FLAIR MR image.
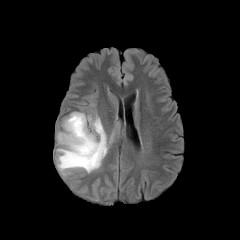
T1-weighted MR image.
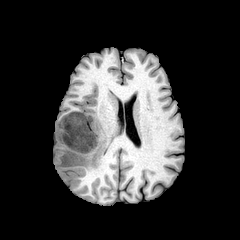
Post-contrast T1-weighted MRI.
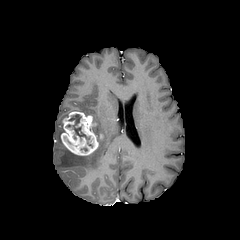
T2-weighted magnetic resonance.
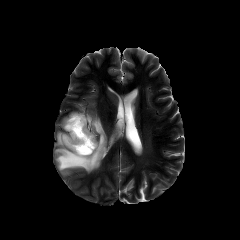
Axial view
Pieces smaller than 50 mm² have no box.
The largest peritumoral edema region is at l=56, t=115, r=108, b=172. The largest enhancing tumor region is bounded by l=61, t=111, r=98, b=155. The largest necrotic tumor core region is bounded by l=69, t=114, r=89, b=139.